FLAIR MR.
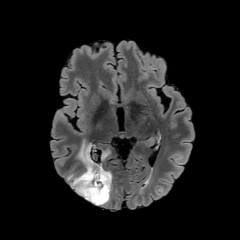
T1-weighted magnetic resonance.
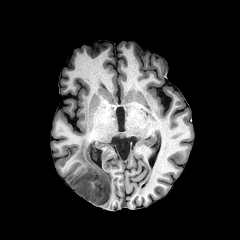
Post-contrast T1-weighted MR.
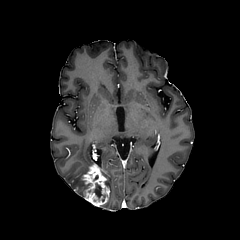
T2-weighted MR image.
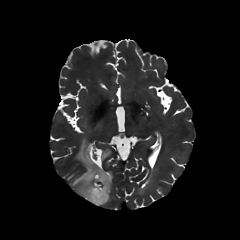
Image size 240x240. Head.
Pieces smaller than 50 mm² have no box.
Findings:
- necrotic tumor core: [94,183,105,201]
- enhancing tumor: [77,164,109,206]
- peritumoral edema: [66,140,112,206]